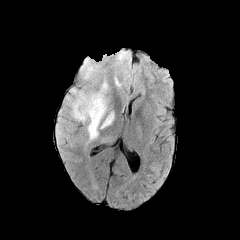
FLAIR MRI.
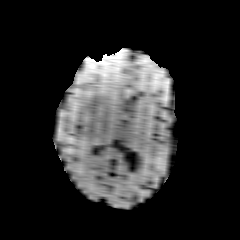
Same slice, T1-weighted magnetic resonance.
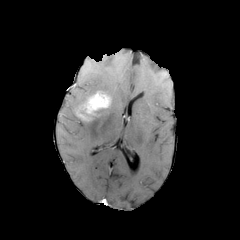
Same slice, post-contrast T1-weighted MR image.
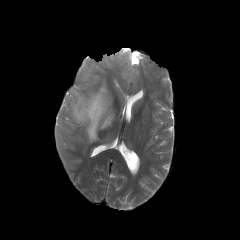
T2-weighted MRI of the same slice.
Image size 240x240 | Brain
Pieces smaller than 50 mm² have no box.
enhancing tumor: 77 92 110 120
peritumoral edema: 99 83 106 93, 87 109 107 140, 101 112 113 128, 73 94 88 119